Slice 112 of 155 | Image width 240 mm | Head
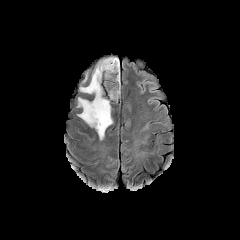
FLAIR magnetic resonance.
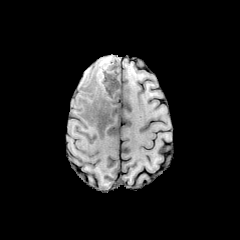
T1-weighted MRI.
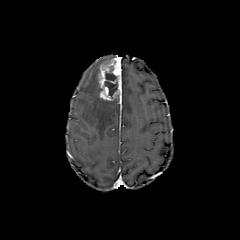
Same slice, post-contrast T1-weighted magnetic resonance.
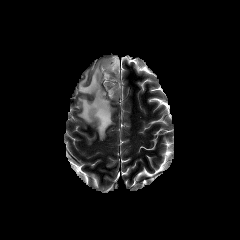
T2-weighted MR image.
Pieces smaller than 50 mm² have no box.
The enhancing tumor is located at bbox=[98, 57, 121, 100]. The largest peritumoral edema region is at bbox=[77, 57, 114, 140]. The largest necrotic tumor core region lies within bbox=[104, 72, 117, 96].